240x240 px; Axial view
FLAIR MRI.
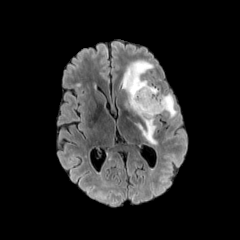
T1-weighted MR.
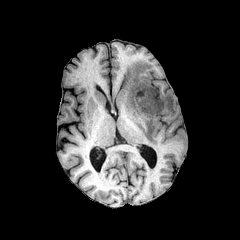
Post-contrast T1-weighted MR image.
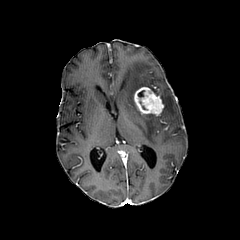
T2-weighted magnetic resonance.
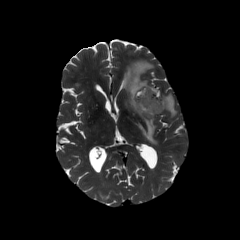
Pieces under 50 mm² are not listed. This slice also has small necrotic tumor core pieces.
enhancing_tumor:
  - (x1=134, y1=87, x2=164, y2=115)
peritumoral_edema:
  - (x1=122, y1=60, x2=157, y2=144)
  - (x1=160, y1=94, x2=176, y2=117)